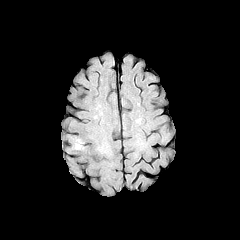
FLAIR MRI.
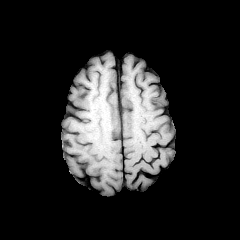
T1-weighted MR.
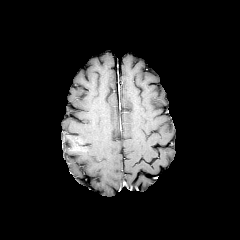
Post-contrast T1-weighted MRI.
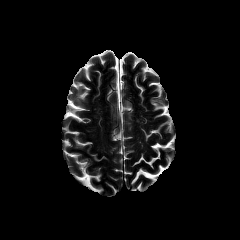
T2-weighted MR.
Brain. Axial view.
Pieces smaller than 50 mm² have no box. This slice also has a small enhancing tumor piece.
peritumoral edema: 75:138:82:149